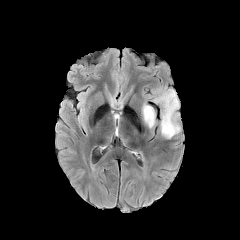
FLAIR magnetic resonance.
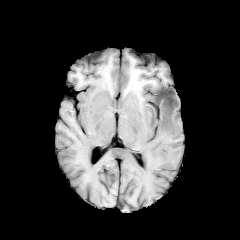
Same slice, T1-weighted MRI.
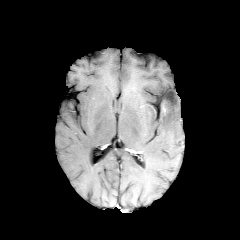
Post-contrast T1-weighted magnetic resonance.
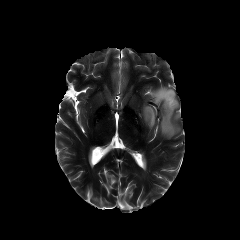
Same slice, T2-weighted MR image.
Head
The necrotic tumor core appears at (155, 89, 175, 111). 2 peritumoral edema regions appear at (149, 87, 180, 138), (142, 104, 156, 128).